FLAIR MRI.
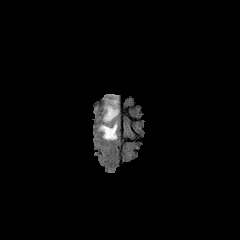
T1-weighted MR.
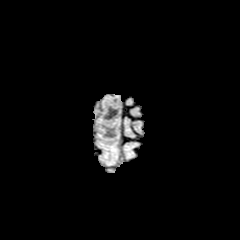
Post-contrast T1-weighted MR.
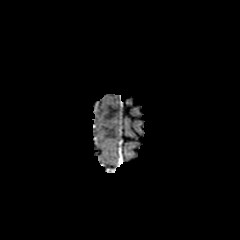
T2-weighted magnetic resonance.
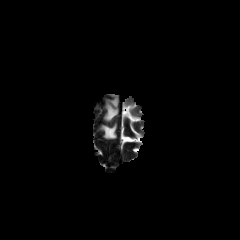
Axial view | 240x240
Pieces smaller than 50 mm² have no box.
peritumoral_edema:
  - box=[104, 106, 117, 121]
  - box=[101, 124, 116, 139]